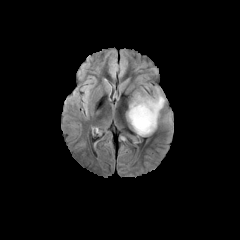
FLAIR MRI.
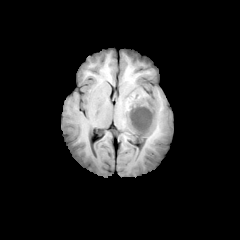
T1-weighted MRI.
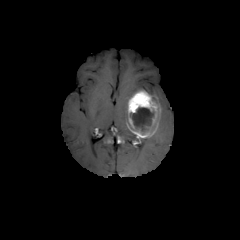
Post-contrast T1-weighted MR.
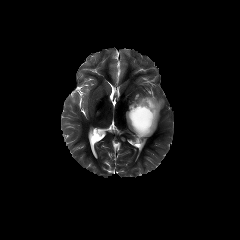
T2-weighted MRI of the same slice.
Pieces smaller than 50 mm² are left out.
The largest peritumoral edema region is located at box=[155, 90, 164, 109]. The necrotic tumor core appears at box=[132, 108, 153, 130]. The enhancing tumor is at box=[127, 90, 160, 138].